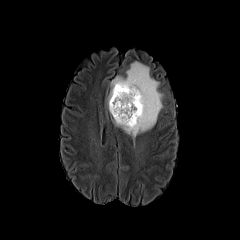
FLAIR MR.
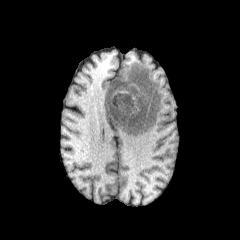
T1-weighted magnetic resonance.
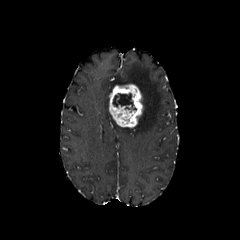
Same slice, post-contrast T1-weighted MRI.
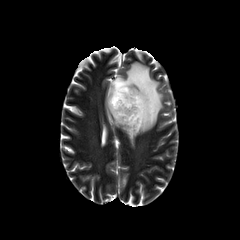
T2-weighted MR.
Head
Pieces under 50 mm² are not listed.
peritumoral_edema:
  - <box>110,61,162,139</box>
necrotic_tumor_core:
  - <box>112,93,136,110</box>
enhancing_tumor:
  - <box>109,84,143,127</box>